FLAIR MR image.
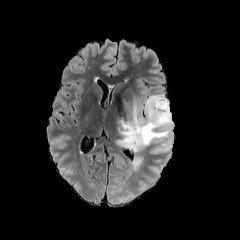
T1-weighted magnetic resonance.
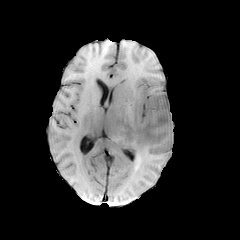
Post-contrast T1-weighted magnetic resonance.
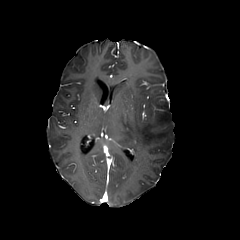
T2-weighted MR image.
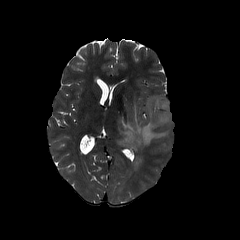
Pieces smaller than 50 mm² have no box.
- peritumoral edema: box(132, 157, 142, 170); box(116, 94, 173, 152)